FLAIR MR.
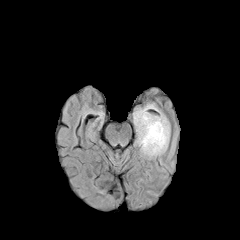
T1-weighted MR.
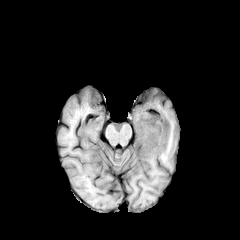
Post-contrast T1-weighted MRI.
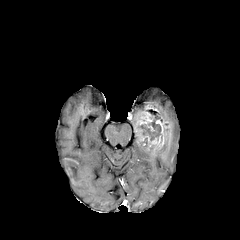
T2-weighted MR image.
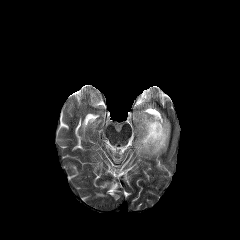
Axial slice. Head.
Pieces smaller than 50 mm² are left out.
necrotic_tumor_core:
  - (137,118,160,140)
peritumoral_edema:
  - (147,103,168,121)
  - (133,107,144,124)
  - (135,129,170,158)
enhancing_tumor:
  - (135,105,170,154)